FLAIR MRI.
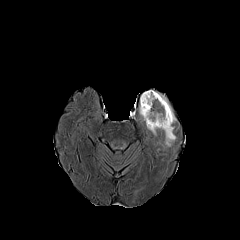
T1-weighted MRI.
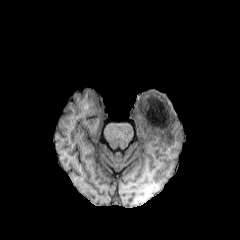
Post-contrast T1-weighted MRI.
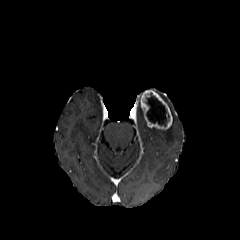
T2-weighted magnetic resonance.
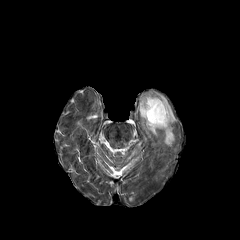
Axial plane. 240x240 px.
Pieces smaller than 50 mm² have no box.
The necrotic tumor core lies within <box>145,92,169,126</box>. The 3 largest peritumoral edema regions are bounded by <box>164,126,175,147</box>, <box>167,99,176,122</box>, <box>145,121,156,136</box>. The enhancing tumor is located at <box>140,90,172,130</box>.